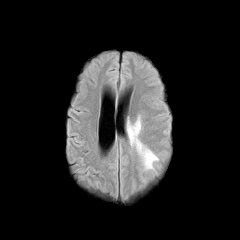
FLAIR MRI.
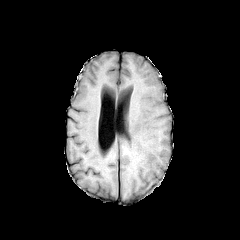
T1-weighted magnetic resonance.
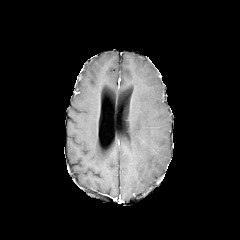
Post-contrast T1-weighted MR image of the same slice.
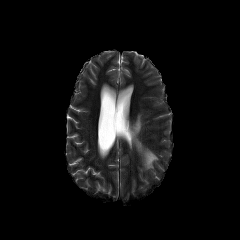
Same slice, T2-weighted MRI.
Head; Axial view
The peritumoral edema is bounded by (127, 117, 158, 169).